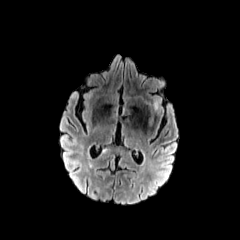
FLAIR MR.
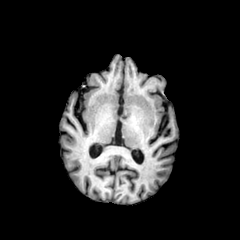
Same slice, T1-weighted magnetic resonance.
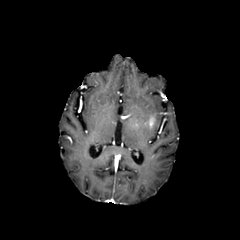
Same slice, post-contrast T1-weighted MR.
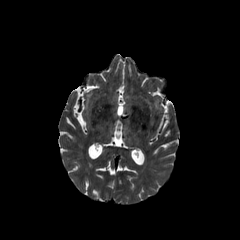
T2-weighted magnetic resonance of the same slice.
240x240, Head
The enhancing tumor is bounded by rect(148, 117, 153, 127).